Slice 50/155. Head.
FLAIR MR.
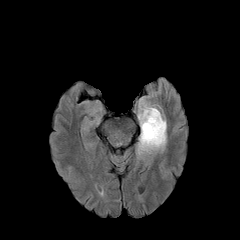
T1-weighted MRI.
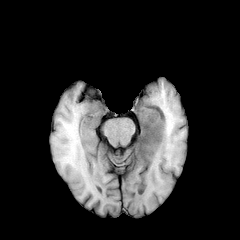
Post-contrast T1-weighted MR.
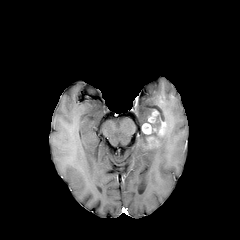
T2-weighted magnetic resonance.
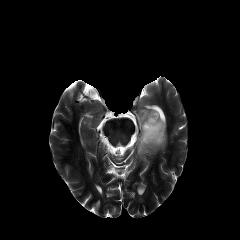
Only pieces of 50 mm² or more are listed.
<segmentation>
  <peritumoral_edema>[137, 102, 166, 157]</peritumoral_edema>
  <enhancing_tumor>[142, 110, 165, 147]</enhancing_tumor>
</segmentation>